Image covers 240 mm x 240 mm | 240x240 | Axial view
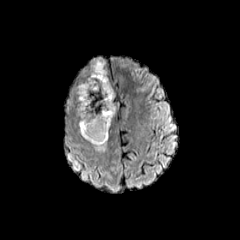
FLAIR MR image.
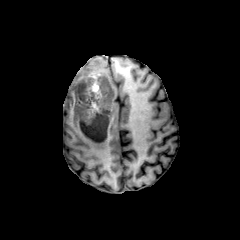
T1-weighted MR of the same slice.
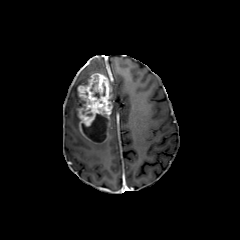
Post-contrast T1-weighted MR image of the same slice.
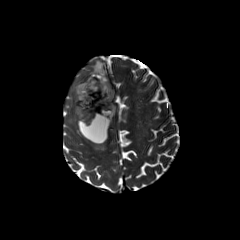
T2-weighted magnetic resonance.
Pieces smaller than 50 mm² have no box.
<segmentation>
  <peritumoral_edema>{"x1": 111, "y1": 104, "x2": 116, "y2": 122}, {"x1": 91, "y1": 141, "x2": 106, "y2": 150}, {"x1": 74, "y1": 59, "x2": 107, "y2": 118}</peritumoral_edema>
  <enhancing_tumor>{"x1": 78, "y1": 73, "x2": 112, "y2": 143}</enhancing_tumor>
  <necrotic_tumor_core>{"x1": 90, "y1": 82, "x2": 105, "y2": 98}, {"x1": 81, "y1": 114, "x2": 107, "y2": 142}</necrotic_tumor_core>
</segmentation>